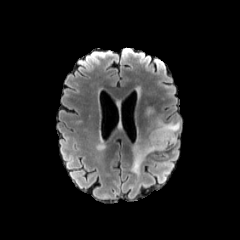
FLAIR MR image.
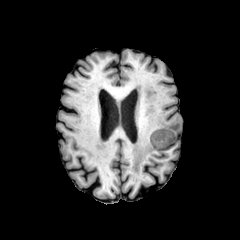
T1-weighted MRI.
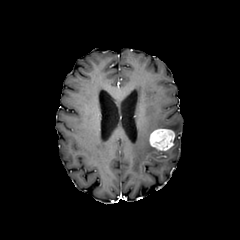
Post-contrast T1-weighted MRI of the same slice.
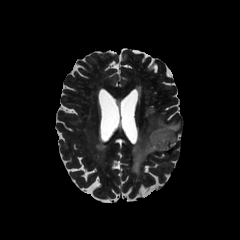
T2-weighted MR.
Axial plane.
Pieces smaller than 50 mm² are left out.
peritumoral edema = 131:106:180:174
enhancing tumor = 149:128:174:150